FLAIR MR.
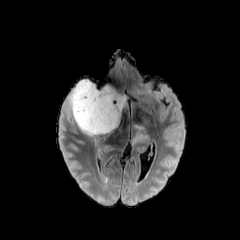
T1-weighted magnetic resonance.
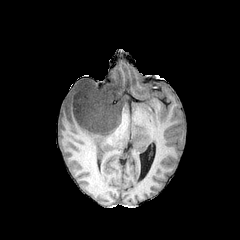
Post-contrast T1-weighted magnetic resonance.
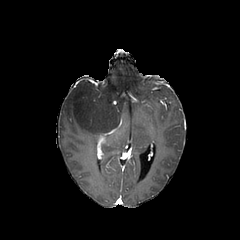
T2-weighted MR image.
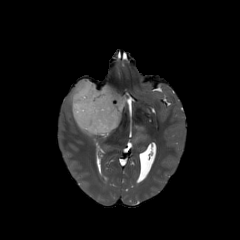
Brain
{
  "peritumoral_edema": [
    "(x1=125, y1=120, x2=149, y2=148)",
    "(x1=69, y1=78, x2=125, y2=140)"
  ]
}